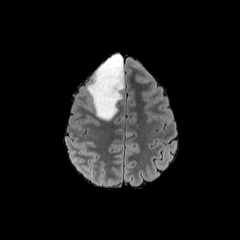
FLAIR MRI.
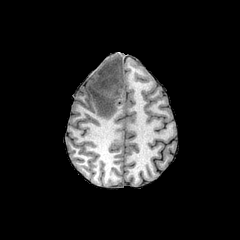
T1-weighted magnetic resonance.
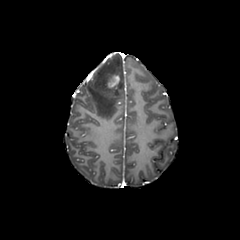
Post-contrast T1-weighted MR image.
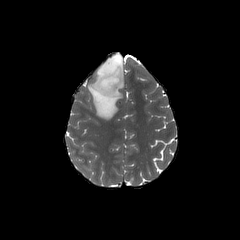
Same slice, T2-weighted MR.
Head. Axial view.
The enhancing tumor appears at [107, 75, 119, 87]. The peritumoral edema is at [87, 54, 124, 120].